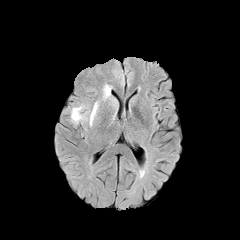
FLAIR magnetic resonance.
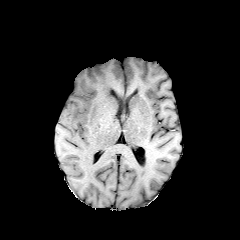
Same slice, T1-weighted MR image.
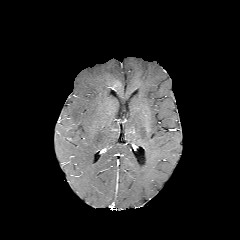
Post-contrast T1-weighted MRI.
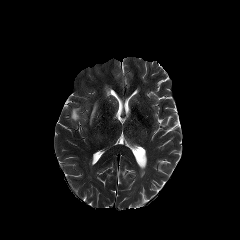
T2-weighted MR image.
Axial slice
{"peritumoral_edema": ["rect(71, 105, 86, 123)", "rect(89, 102, 98, 125)", "rect(103, 85, 110, 98)"]}